FLAIR magnetic resonance.
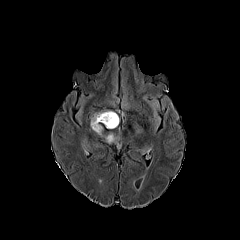
T1-weighted MR.
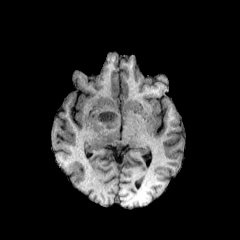
Post-contrast T1-weighted MRI.
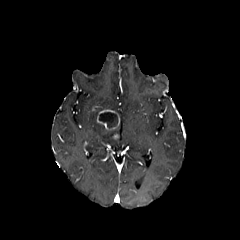
T2-weighted MR.
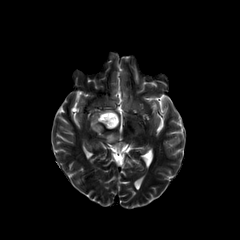
240x240 px.
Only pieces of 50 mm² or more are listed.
<segmentation>
  <enhancing_tumor>bbox(97, 109, 119, 129)</enhancing_tumor>
  <necrotic_tumor_core>bbox(99, 112, 117, 128)</necrotic_tumor_core>
  <peritumoral_edema>bbox(105, 133, 115, 142); bbox(90, 113, 103, 136)</peritumoral_edema>
</segmentation>